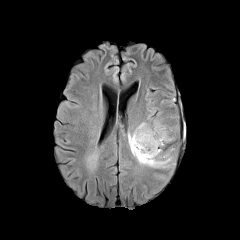
FLAIR magnetic resonance.
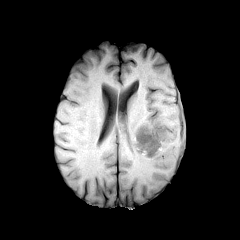
T1-weighted MR.
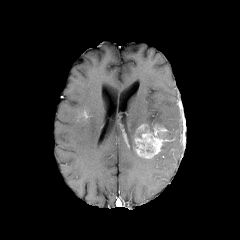
Post-contrast T1-weighted magnetic resonance.
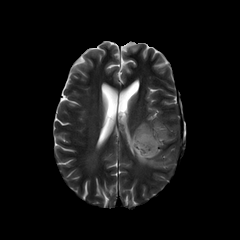
T2-weighted magnetic resonance.
Axial view
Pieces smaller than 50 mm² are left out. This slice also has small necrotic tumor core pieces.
peritumoral edema: 127,122,171,169 | enhancing tumor: 135,124,166,158